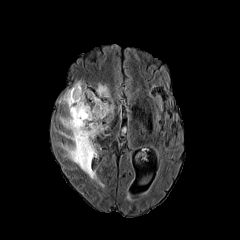
FLAIR MRI.
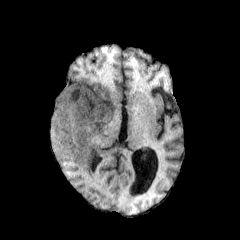
T1-weighted MR.
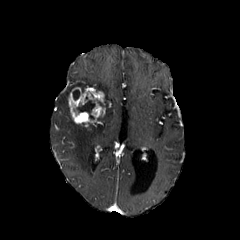
Post-contrast T1-weighted MR of the same slice.
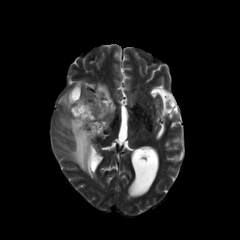
T2-weighted MR image.
Brain
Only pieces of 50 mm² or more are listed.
The enhancing tumor is at <bbox>68, 87, 106, 126</bbox>. The 2 largest peritumoral edema regions appear at <bbox>58, 81, 108, 179</bbox>, <bbox>96, 83, 114, 121</bbox>. The 2 largest necrotic tumor core regions are located at <bbox>73, 90, 79, 99</bbox>, <bbox>77, 100, 95, 119</bbox>.